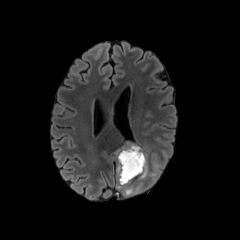
FLAIR magnetic resonance.
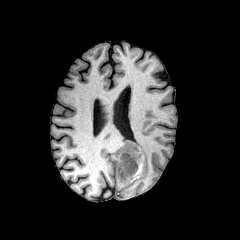
T1-weighted MR.
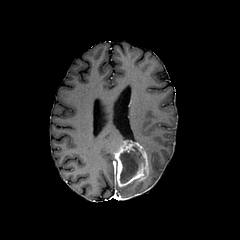
Post-contrast T1-weighted magnetic resonance.
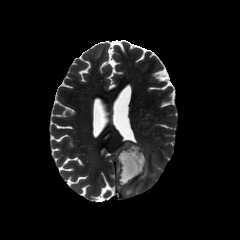
T2-weighted magnetic resonance.
Image size 240x240 | Axial plane
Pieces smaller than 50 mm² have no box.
enhancing tumor — bbox(114, 142, 149, 186)
necrotic tumor core — bbox(120, 147, 143, 183)
peritumoral edema — bbox(124, 186, 134, 195); bbox(148, 171, 158, 177)